FLAIR MR image.
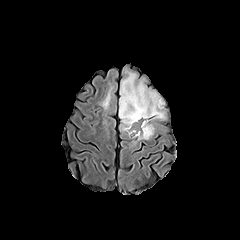
T1-weighted MR.
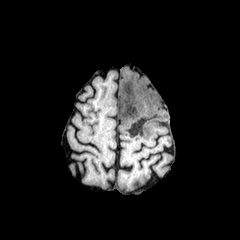
Post-contrast T1-weighted MR.
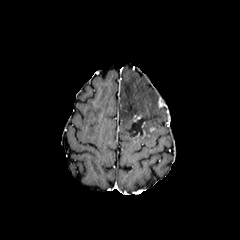
T2-weighted magnetic resonance.
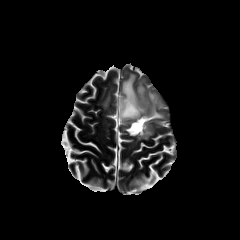
240x240
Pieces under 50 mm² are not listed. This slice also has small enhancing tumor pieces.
peritumoral edema — left=101, top=90, right=110, bottom=109; left=138, top=131, right=153, bottom=139; left=119, top=71, right=165, bottom=134
necrotic tumor core — left=130, top=115, right=149, bottom=137; left=122, top=91, right=141, bottom=115